FLAIR MRI.
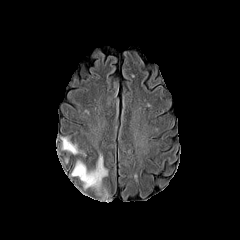
T1-weighted MR image.
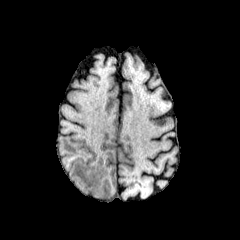
Post-contrast T1-weighted MR.
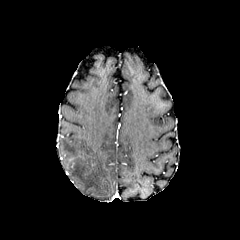
T2-weighted MR.
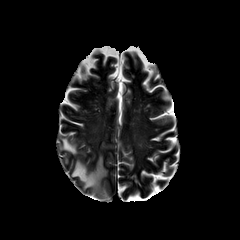
<segmentation>
  <peritumoral_edema>l=71, t=154, r=108, b=199; l=62, t=138, r=81, b=154</peritumoral_edema>
</segmentation>